Slice 56 of 155, Axial view, 240x240 px, Head
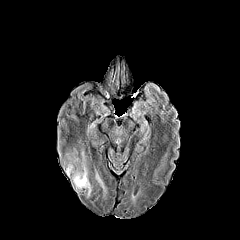
FLAIR MR image.
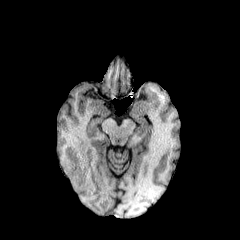
T1-weighted MR of the same slice.
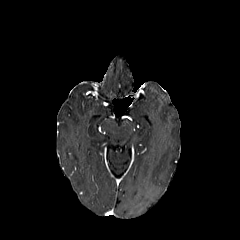
Post-contrast T1-weighted magnetic resonance.
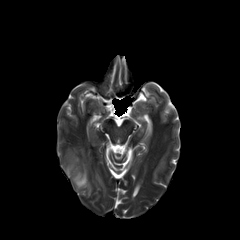
T2-weighted MR.
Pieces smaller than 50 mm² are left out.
peritumoral_edema:
  - <bbox>66, 162, 73, 175</bbox>
  - <bbox>72, 162, 91, 196</bbox>
  - <bbox>96, 173, 105, 191</bbox>